FLAIR MR.
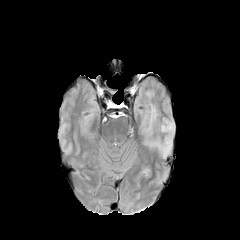
T1-weighted MR.
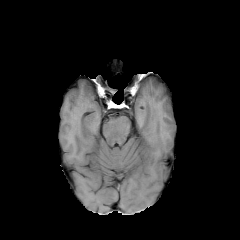
Post-contrast T1-weighted MR.
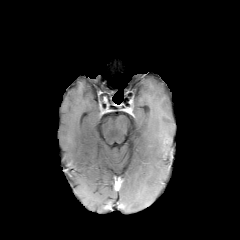
T2-weighted MR.
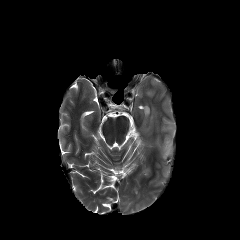
Brain
- peritumoral edema: rect(156, 137, 171, 157)